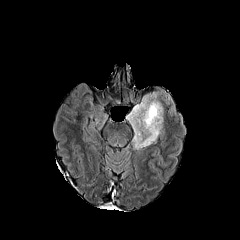
FLAIR MR image.
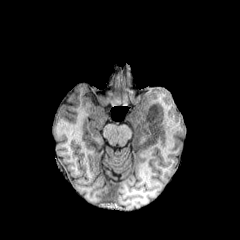
T1-weighted MR.
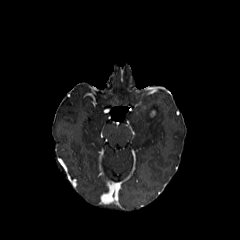
Post-contrast T1-weighted MR.
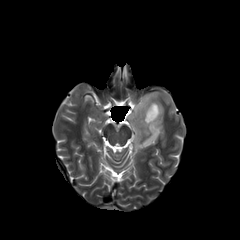
T2-weighted MRI.
Axial plane
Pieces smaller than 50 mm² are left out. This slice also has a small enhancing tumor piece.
peritumoral edema — (127, 93, 163, 148)